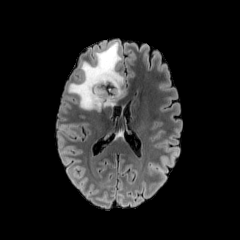
FLAIR MR.
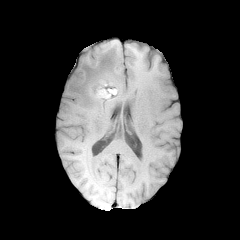
T1-weighted MRI of the same slice.
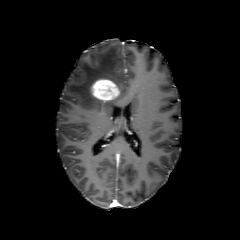
Same slice, post-contrast T1-weighted magnetic resonance.
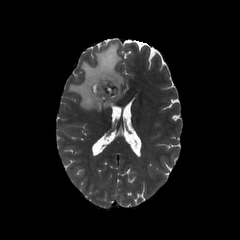
T2-weighted MR.
Image size 240x240
enhancing tumor: bounding box rect(91, 79, 120, 101)
peritumoral edema: bounding box rect(67, 42, 125, 111)
necrotic tumor core: bounding box rect(99, 84, 114, 97)